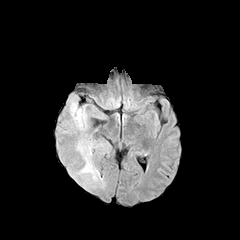
FLAIR MR image.
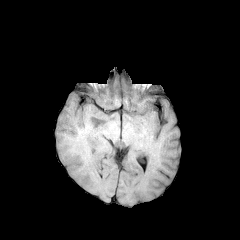
T1-weighted MR image of the same slice.
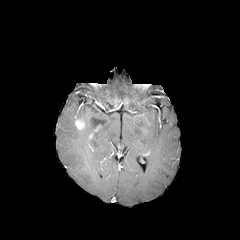
Post-contrast T1-weighted MRI of the same slice.
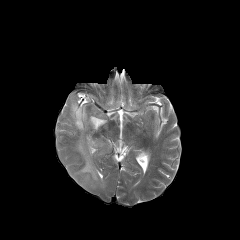
T2-weighted MR image of the same slice.
Axial slice
The peritumoral edema is located at box(69, 100, 105, 187). The enhancing tumor is bounded by box(75, 119, 84, 129).